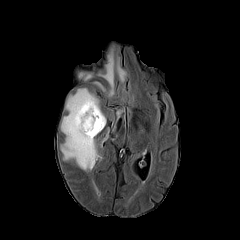
FLAIR MRI.
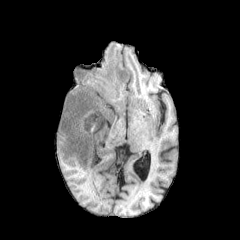
Same slice, T1-weighted MRI.
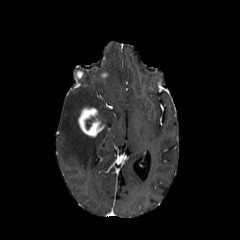
Post-contrast T1-weighted magnetic resonance.
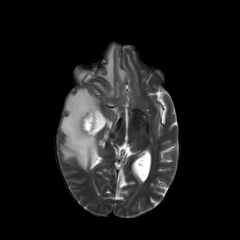
T2-weighted MR of the same slice.
Image size 240x240; Head
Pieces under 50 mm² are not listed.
Findings:
* enhancing tumor: (76,71,83,78), (78,107,104,137)
* necrotic tumor core: (86,116,99,129)
* peritumoral edema: (60,88,106,170), (82,73,92,81), (94,46,126,96)